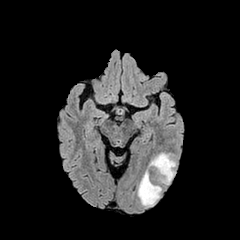
FLAIR magnetic resonance.
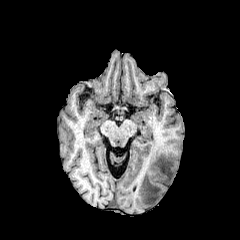
Same slice, T1-weighted MRI.
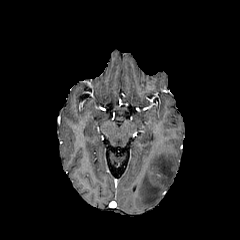
Post-contrast T1-weighted MRI.
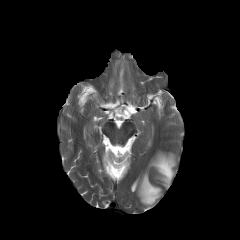
T2-weighted MR image.
Axial plane; Head
peritumoral edema = [x1=148, y1=152, x2=176, y2=184], [x1=137, y1=169, x2=161, y2=206]